240x240 | Image covers 240 mm x 240 mm | Axial plane
FLAIR MRI.
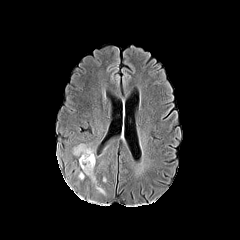
T1-weighted MRI.
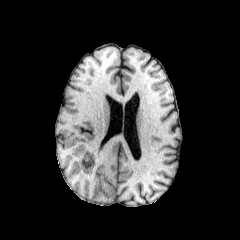
Post-contrast T1-weighted MR.
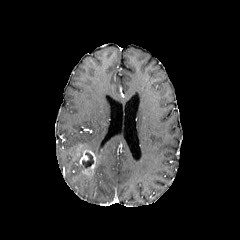
T2-weighted MRI.
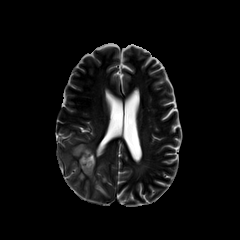
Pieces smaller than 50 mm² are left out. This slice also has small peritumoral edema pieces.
<segmentation>
  <enhancing_tumor>76, 145, 95, 174</enhancing_tumor>
  <necrotic_tumor_core>82, 153, 93, 168</necrotic_tumor_core>
</segmentation>